FLAIR magnetic resonance.
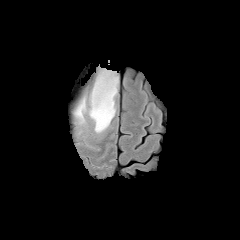
T1-weighted magnetic resonance.
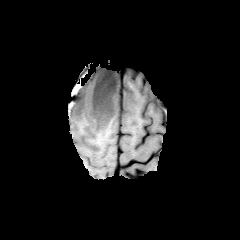
Post-contrast T1-weighted magnetic resonance.
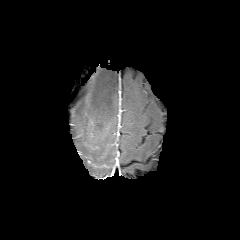
T2-weighted MR image.
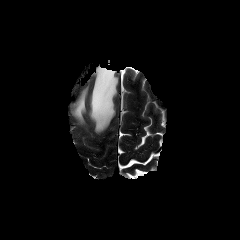
Axial plane; Head
peritumoral edema: bounding box box=[89, 69, 118, 133]; box=[74, 95, 86, 123]